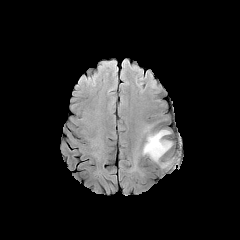
FLAIR MR.
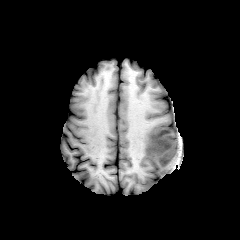
T1-weighted MR.
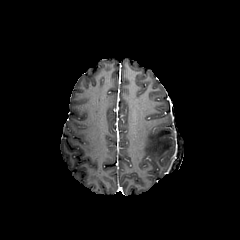
Post-contrast T1-weighted MR.
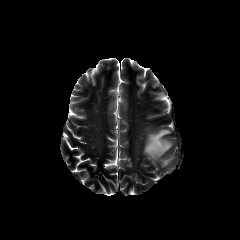
T2-weighted MR.
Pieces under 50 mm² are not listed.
peritumoral edema = rect(143, 129, 172, 161)